Axial plane, 240x240 px, Slice 76/155, Brain
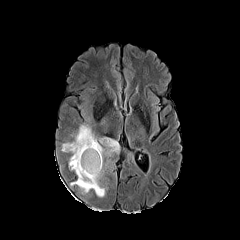
FLAIR magnetic resonance.
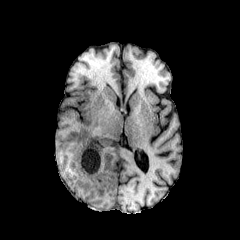
T1-weighted magnetic resonance.
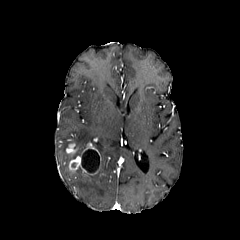
Same slice, post-contrast T1-weighted MRI.
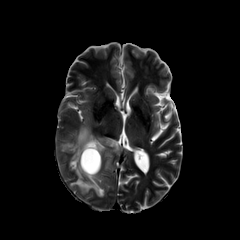
T2-weighted magnetic resonance.
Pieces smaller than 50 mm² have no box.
Annotated regions:
* enhancing tumor: region(69, 142, 101, 175); region(66, 143, 77, 153)
* necrotic tumor core: region(81, 149, 100, 172)
* peritumoral edema: region(70, 125, 119, 197)